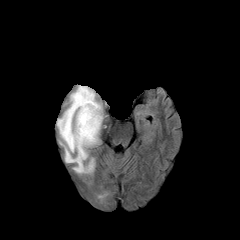
FLAIR magnetic resonance.
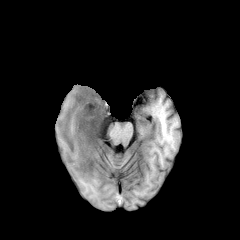
T1-weighted MR image of the same slice.
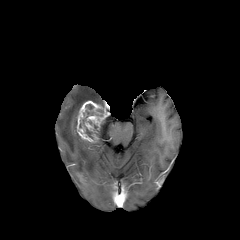
Post-contrast T1-weighted MR.
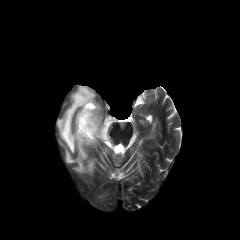
T2-weighted MR.
240x240 | Head
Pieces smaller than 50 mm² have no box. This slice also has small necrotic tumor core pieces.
{
  "peritumoral_edema": [
    "57, 85, 101, 173"
  ],
  "enhancing_tumor": [
    "76, 100, 107, 143"
  ]
}